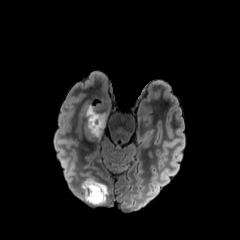
FLAIR MRI.
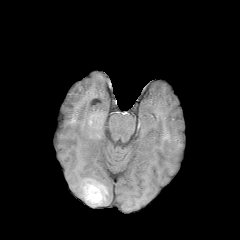
T1-weighted MR image.
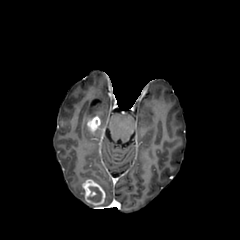
Post-contrast T1-weighted magnetic resonance.
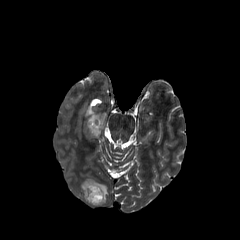
T2-weighted magnetic resonance of the same slice.
Brain
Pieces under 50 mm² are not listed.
necrotic tumor core at 88, 186, 101, 202
enhancing tumor at 82, 179, 105, 206; 87, 116, 100, 133
peritumoral edema at 86, 178, 108, 205; 86, 105, 107, 137